FLAIR MRI.
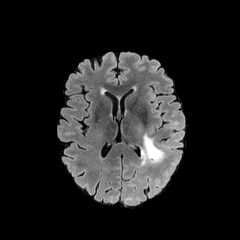
T1-weighted MRI.
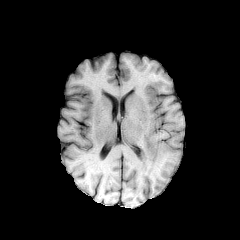
Post-contrast T1-weighted MRI.
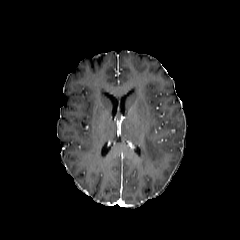
T2-weighted MR.
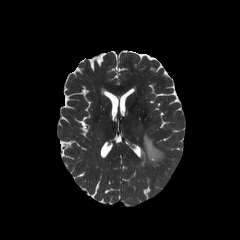
Head. 240x240 px.
peritumoral edema: l=140, t=132, r=170, b=166